FLAIR MR image.
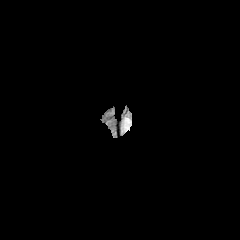
T1-weighted magnetic resonance.
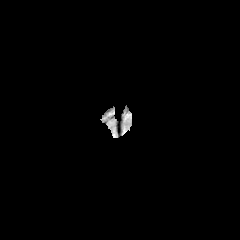
Post-contrast T1-weighted MR.
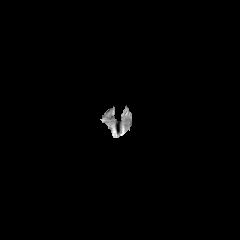
T2-weighted MRI.
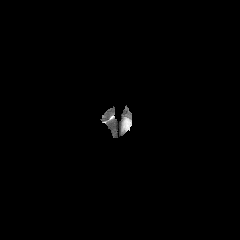
Axial plane
The peritumoral edema is bounded by 124:118:131:131.